Image width 240 mm, Slice 71/155, Head
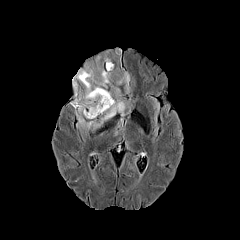
FLAIR magnetic resonance.
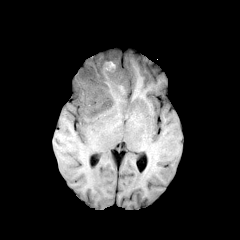
T1-weighted MR image of the same slice.
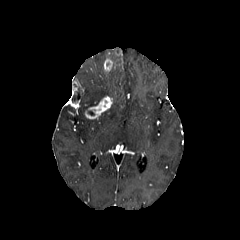
Post-contrast T1-weighted MRI.
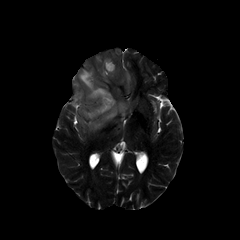
T2-weighted MR image of the same slice.
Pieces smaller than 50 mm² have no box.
The largest necrotic tumor core region is located at x1=72 y1=88 x2=81 y2=101. The 4 largest enhancing tumor regions are bounded by x1=84 y1=96 x2=112 y2=119, x1=72 y1=80 x2=84 y2=95, x1=104 y1=58 x2=113 y2=71, x1=70 y1=99 x2=80 y2=109. 2 peritumoral edema regions are located at x1=118 y1=71 x2=129 y2=90, x1=75 y1=49 x2=130 y2=133.